FLAIR MRI.
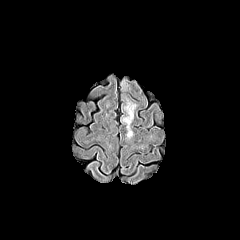
T1-weighted MRI.
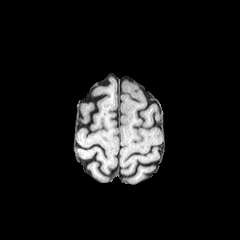
Post-contrast T1-weighted magnetic resonance.
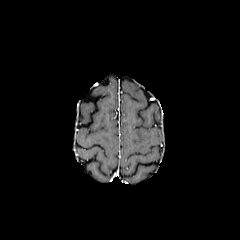
T2-weighted magnetic resonance.
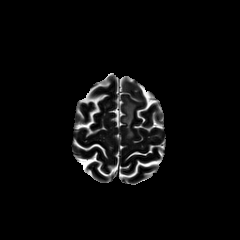
Axial slice | Brain
2 peritumoral edema regions are bounded by (121, 94, 136, 138), (119, 81, 128, 91).